FLAIR MR.
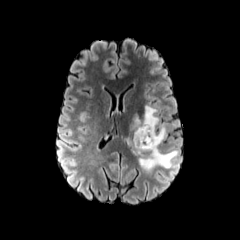
T1-weighted MR image.
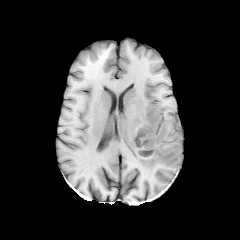
Post-contrast T1-weighted MRI.
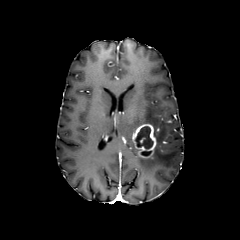
T2-weighted MR image.
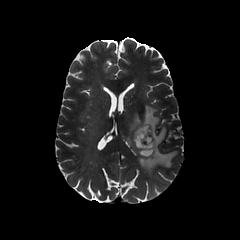
Brain | Axial plane
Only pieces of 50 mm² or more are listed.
necrotic tumor core: 135, 126, 153, 155 | enhancing tumor: 132, 123, 156, 157 | peritumoral edema: 124, 105, 178, 174